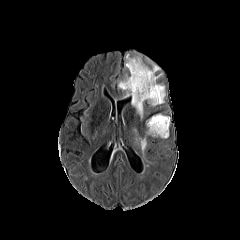
FLAIR MR.
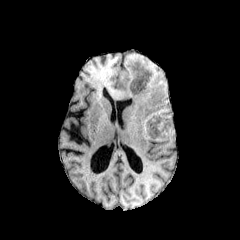
T1-weighted magnetic resonance.
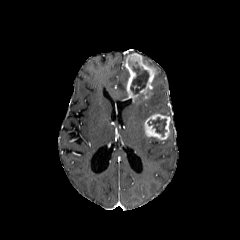
Post-contrast T1-weighted MR image of the same slice.
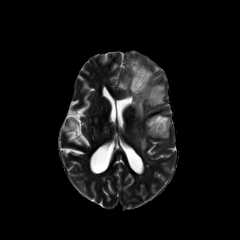
T2-weighted MRI.
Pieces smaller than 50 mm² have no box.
The 2 largest enhancing tumor regions are bounded by {"x1": 126, "y1": 53, "x2": 155, "y2": 101}, {"x1": 143, "y1": 113, "x2": 170, "y2": 139}. The 2 largest necrotic tumor core regions are bounded by {"x1": 128, "y1": 60, "x2": 148, "y2": 94}, {"x1": 148, "y1": 117, "x2": 166, "y2": 136}. The 4 largest peritumoral edema regions appear at {"x1": 146, "y1": 59, "x2": 160, "y2": 72}, {"x1": 118, "y1": 74, "x2": 128, "y2": 98}, {"x1": 136, "y1": 137, "x2": 146, "y2": 152}, {"x1": 131, "y1": 73, "x2": 165, "y2": 119}.